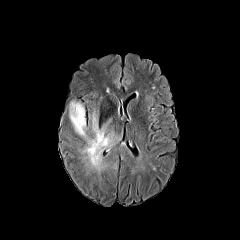
FLAIR MRI.
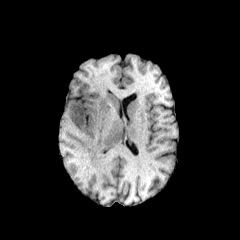
T1-weighted MR of the same slice.
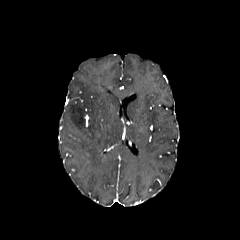
Post-contrast T1-weighted MR image of the same slice.
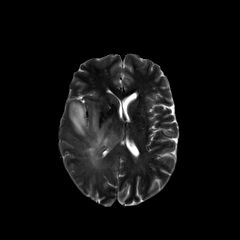
Same slice, T2-weighted magnetic resonance.
Brain
The peritumoral edema is bounded by (left=69, top=101, right=120, bottom=172).